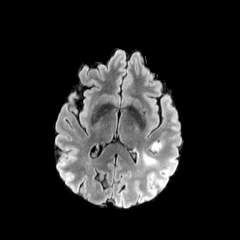
FLAIR MRI.
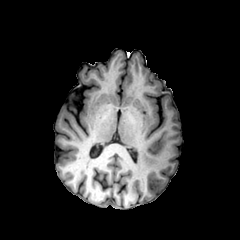
T1-weighted magnetic resonance.
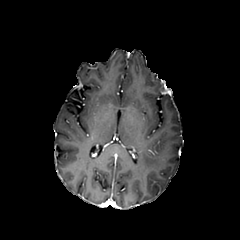
Post-contrast T1-weighted MR.
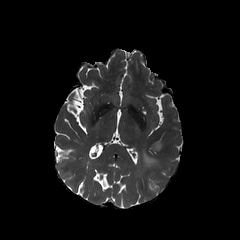
T2-weighted MRI.
Brain
peritumoral edema = 150,142,162,151; 141,151,156,165